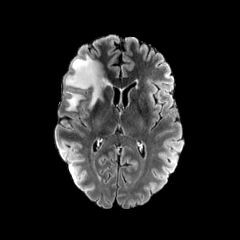
FLAIR magnetic resonance.
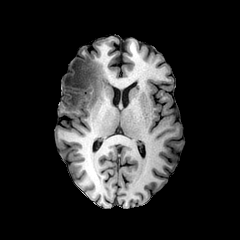
T1-weighted MRI of the same slice.
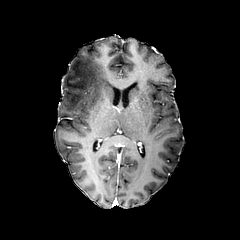
Post-contrast T1-weighted MR image.
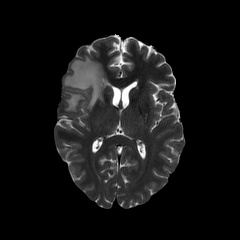
Same slice, T2-weighted MR image.
peritumoral edema at l=64, t=55, r=106, b=108; l=66, t=92, r=84, b=110